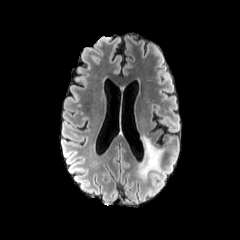
FLAIR MR.
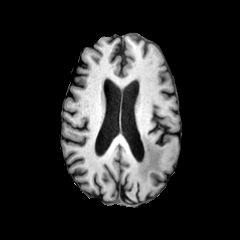
T1-weighted magnetic resonance.
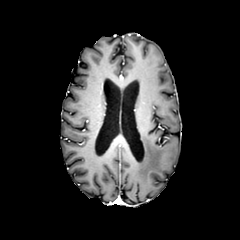
Same slice, post-contrast T1-weighted MR.
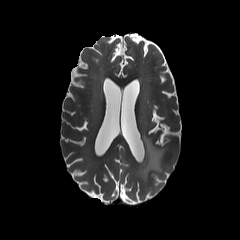
T2-weighted MRI of the same slice.
Axial view. Head.
peritumoral edema: box=[135, 136, 162, 182]